Slice 68 of 155. Image size 240x240. Brain.
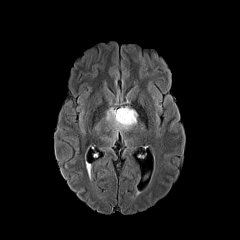
FLAIR magnetic resonance.
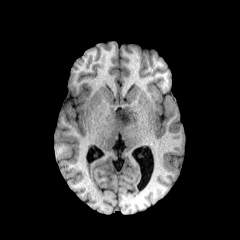
T1-weighted magnetic resonance.
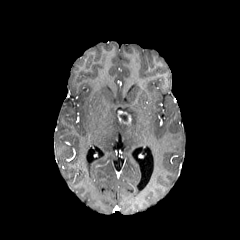
Same slice, post-contrast T1-weighted MR.
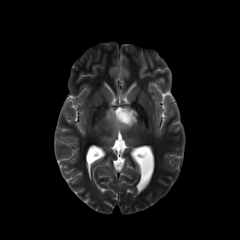
T2-weighted MR.
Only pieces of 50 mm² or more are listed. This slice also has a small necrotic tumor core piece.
Findings:
- peritumoral edema: (left=101, top=106, right=137, bottom=141)
- enhancing tumor: (left=117, top=110, right=132, bottom=124)